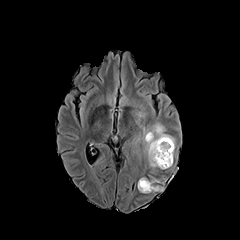
FLAIR MR image.
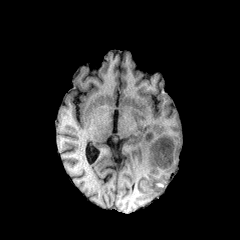
T1-weighted MR.
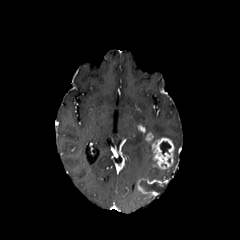
Post-contrast T1-weighted magnetic resonance.
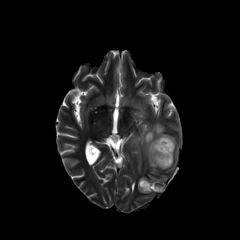
T2-weighted MR image.
Head, Axial slice
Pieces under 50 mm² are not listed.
Segmented structures:
- peritumoral edema: (x1=137, y1=124, x2=177, y2=173)
- enhancing tumor: (x1=145, y1=132, x2=174, y2=169), (x1=137, y1=178, x2=160, y2=195)
- necrotic tumor core: (x1=160, y1=141, x2=170, y2=154), (x1=140, y1=181, x2=160, y2=192)